FLAIR MR image.
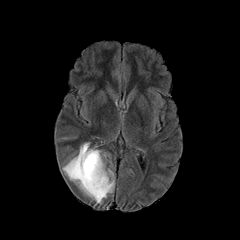
T1-weighted MR.
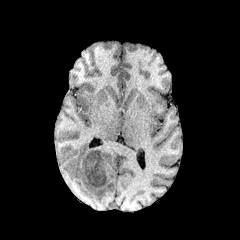
Post-contrast T1-weighted MRI.
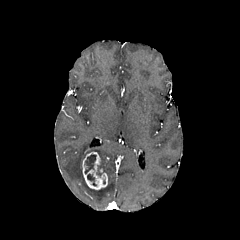
T2-weighted MRI.
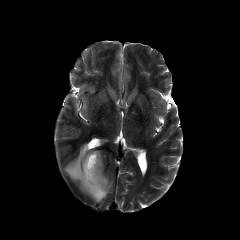
Axial slice; Brain
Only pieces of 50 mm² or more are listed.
peritumoral edema — bbox(63, 143, 114, 203)
necrotic tumor core — bbox(84, 154, 96, 173); bbox(87, 174, 96, 185)
enhancing tumor — bbox(82, 151, 107, 189)